FLAIR MR.
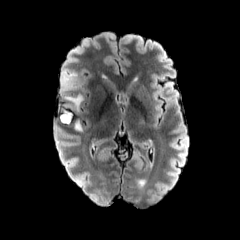
T1-weighted MRI.
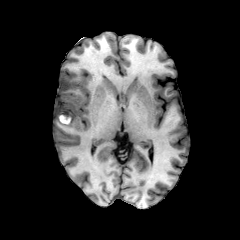
Post-contrast T1-weighted MR.
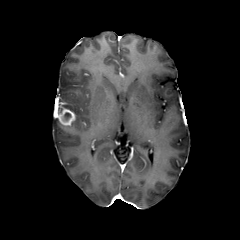
T2-weighted MR.
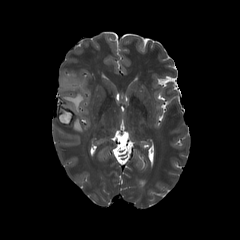
Brain, Axial plane
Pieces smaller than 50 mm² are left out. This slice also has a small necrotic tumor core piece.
Findings:
- enhancing tumor: (left=58, top=108, right=75, bottom=125)
- peritumoral edema: (left=60, top=70, right=83, bottom=111), (left=74, top=121, right=82, bottom=130)